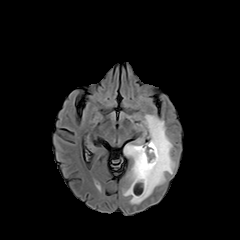
FLAIR MR.
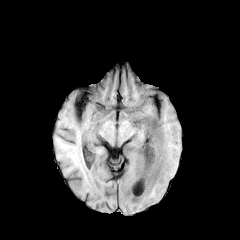
Same slice, T1-weighted magnetic resonance.
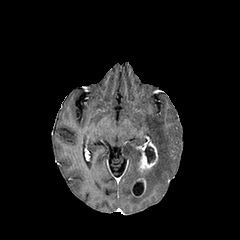
Same slice, post-contrast T1-weighted magnetic resonance.
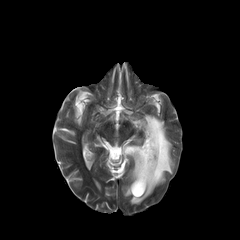
T2-weighted MR image.
Head, Axial plane
<segmentation>
  <peritumoral_edema>bbox=[123, 114, 174, 204]</peritumoral_edema>
  <necrotic_tumor_core>bbox=[144, 145, 155, 163]; bbox=[132, 181, 143, 195]</necrotic_tumor_core>
  <enhancing_tumor>bbox=[136, 141, 158, 175]; bbox=[136, 177, 146, 193]</enhancing_tumor>
</segmentation>